Head | 240x240 px
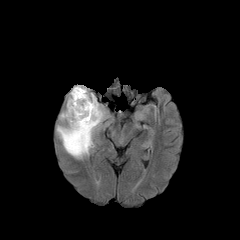
FLAIR MR.
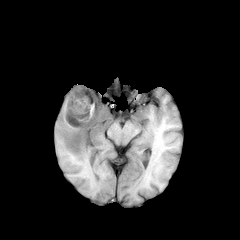
Same slice, T1-weighted MR image.
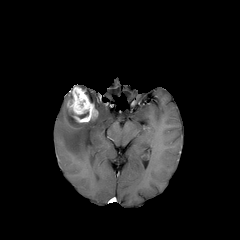
Same slice, post-contrast T1-weighted MR image.
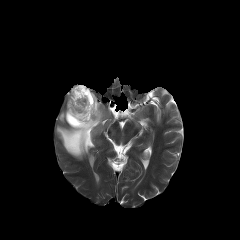
T2-weighted MRI of the same slice.
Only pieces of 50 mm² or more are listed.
enhancing_tumor:
  - (64, 86, 98, 129)
peritumoral_edema:
  - (56, 85, 106, 158)
necrotic_tumor_core:
  - (66, 108, 81, 126)